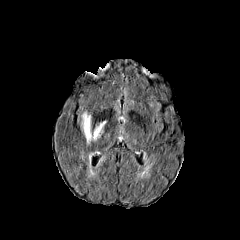
FLAIR MR image.
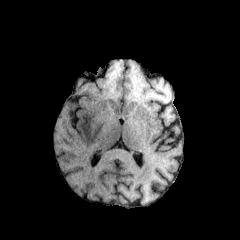
T1-weighted MRI.
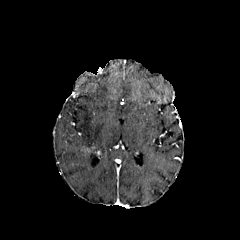
Post-contrast T1-weighted magnetic resonance of the same slice.
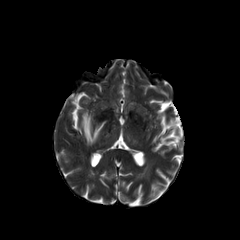
T2-weighted magnetic resonance.
240x240
2 peritumoral edema regions are bounded by (x1=88, y1=166, x2=96, y2=177), (x1=81, y1=111, x2=108, y2=144).